FLAIR MR image.
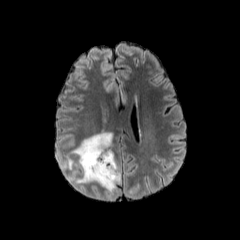
T1-weighted magnetic resonance.
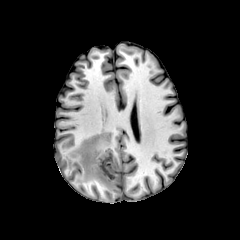
Post-contrast T1-weighted MR.
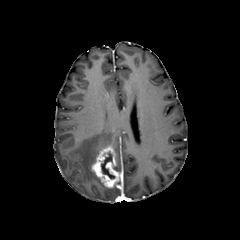
T2-weighted MR image.
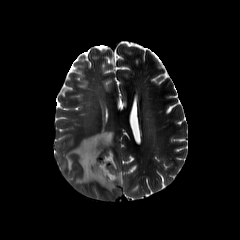
Brain; 240x240
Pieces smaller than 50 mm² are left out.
Annotated regions:
* peritumoral edema: left=71, top=132, right=117, bottom=194; left=67, top=155, right=73, bottom=168
* necrotic tumor core: left=101, top=152, right=114, bottom=178
* enhancing tumor: left=91, top=146, right=121, bottom=188